Image size 240x240
FLAIR MR.
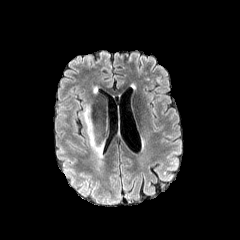
T1-weighted MRI.
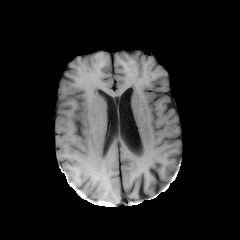
Post-contrast T1-weighted magnetic resonance.
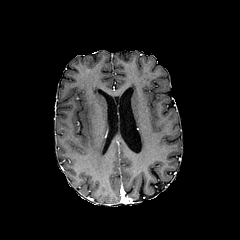
T2-weighted MRI.
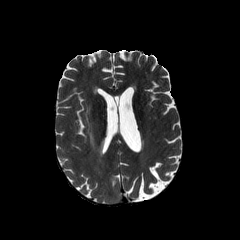
Findings:
• peritumoral edema: (83, 103, 105, 167)